Slice 114/155
FLAIR magnetic resonance.
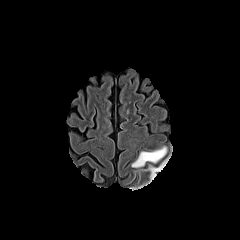
T1-weighted MR image.
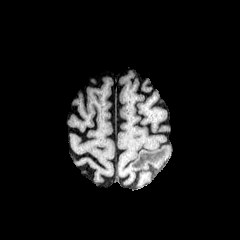
Post-contrast T1-weighted MR.
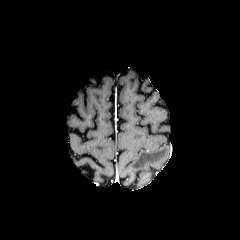
T2-weighted MR.
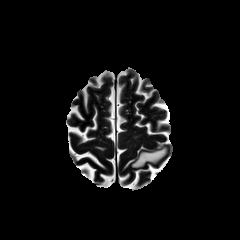
Findings:
- peritumoral edema: rect(132, 147, 167, 167); rect(148, 158, 168, 180)